Image covers 240 mm x 240 mm; 240x240; Head
FLAIR magnetic resonance.
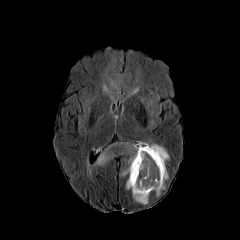
T1-weighted magnetic resonance.
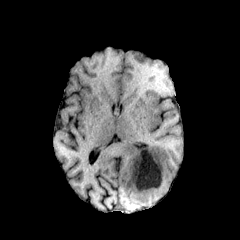
Post-contrast T1-weighted MRI.
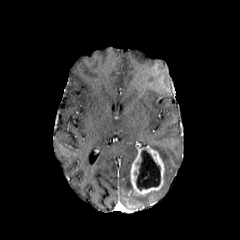
T2-weighted MRI.
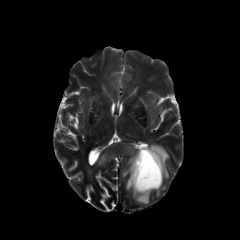
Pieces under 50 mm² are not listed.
enhancing tumor: l=130, t=144, r=164, b=195
peritumoral edema: l=97, t=141, r=137, b=176; l=149, t=144, r=169, b=181; l=155, t=184, r=165, b=196; l=142, t=95, r=161, b=126; l=108, t=74, r=127, b=99; l=126, t=176, r=149, b=204
necrotic tumor core: l=136, t=150, r=160, b=190